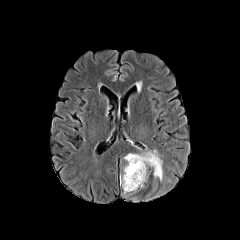
FLAIR MR image.
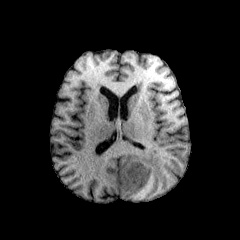
Same slice, T1-weighted MR image.
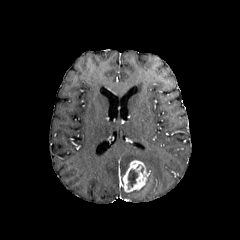
Same slice, post-contrast T1-weighted magnetic resonance.
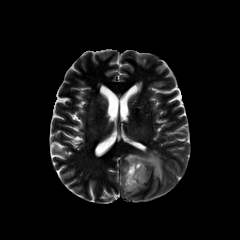
Same slice, T2-weighted MR.
Axial slice
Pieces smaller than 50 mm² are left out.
{"necrotic_tumor_core": ["128 170 137 186"], "enhancing_tumor": ["120 160 149 192"], "peritumoral_edema": ["123 150 163 181"]}